FLAIR magnetic resonance.
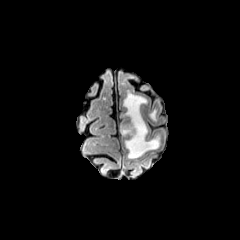
T1-weighted MRI.
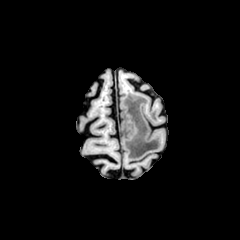
Post-contrast T1-weighted MRI.
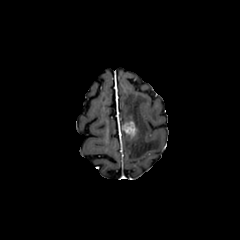
T2-weighted MR.
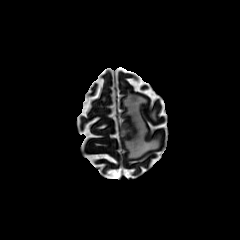
240x240 px. Axial view.
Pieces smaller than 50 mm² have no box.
The 2 largest peritumoral edema regions appear at 123 90 160 158, 149 109 156 120. The enhancing tumor lies within 120 120 137 137.